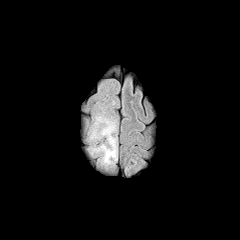
FLAIR MR.
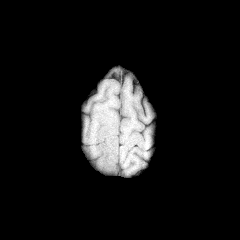
Same slice, T1-weighted MRI.
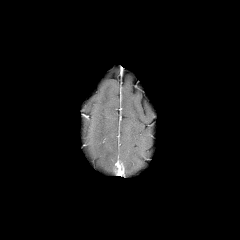
Same slice, post-contrast T1-weighted MR image.
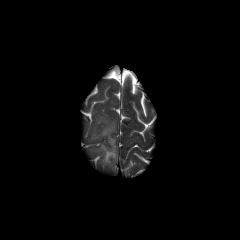
T2-weighted MR.
240x240 px, Head
The peritumoral edema lies within bbox=[90, 115, 117, 165].